Head, Image size 240x240, Slice index 52
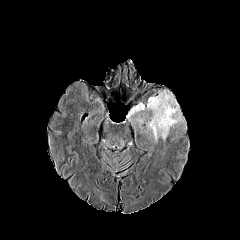
FLAIR MR image.
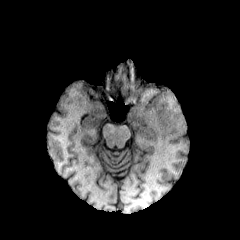
T1-weighted MR image.
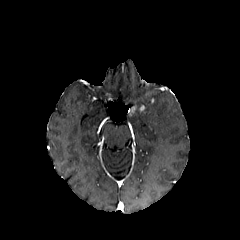
Post-contrast T1-weighted MR image.
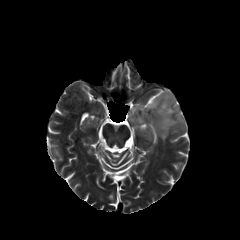
T2-weighted magnetic resonance.
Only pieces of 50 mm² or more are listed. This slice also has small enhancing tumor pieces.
peritumoral edema at <box>147,92,181,141</box>